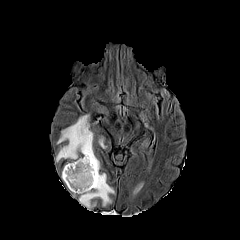
FLAIR MR.
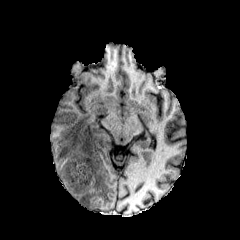
Same slice, T1-weighted MR image.
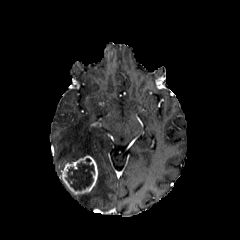
Post-contrast T1-weighted MR of the same slice.
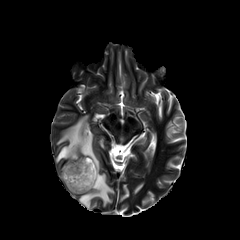
T2-weighted MRI of the same slice.
Axial slice; Head
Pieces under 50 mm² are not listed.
{"peritumoral_edema": ["rect(56, 114, 114, 209)", "rect(98, 137, 105, 148)"], "necrotic_tumor_core": ["rect(65, 158, 94, 190)"], "enhancing_tumor": ["rect(61, 155, 97, 194)"]}